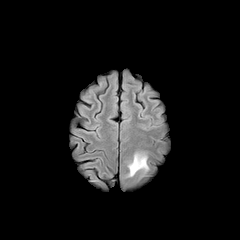
FLAIR MR image.
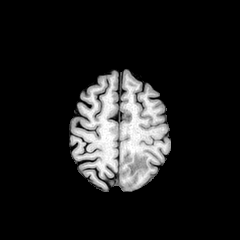
T1-weighted MR.
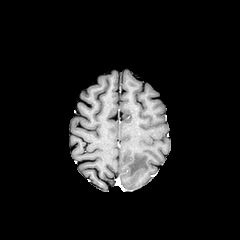
Post-contrast T1-weighted magnetic resonance.
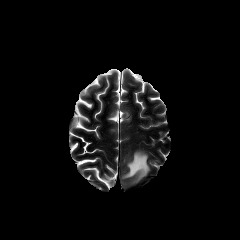
T2-weighted magnetic resonance of the same slice.
Axial plane
The peritumoral edema appears at (126, 152, 149, 177).